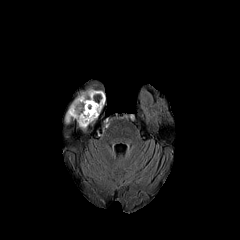
FLAIR MRI.
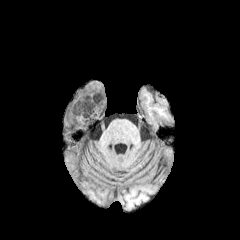
T1-weighted magnetic resonance.
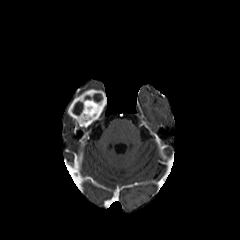
Same slice, post-contrast T1-weighted magnetic resonance.
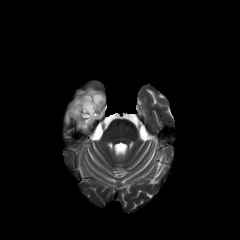
T2-weighted magnetic resonance.
Axial slice
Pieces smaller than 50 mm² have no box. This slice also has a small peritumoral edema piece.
enhancing tumor: region(67, 89, 106, 127) | necrotic tumor core: region(73, 94, 102, 115)